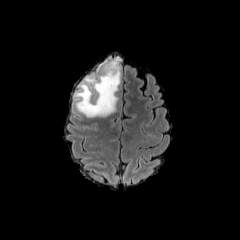
FLAIR magnetic resonance.
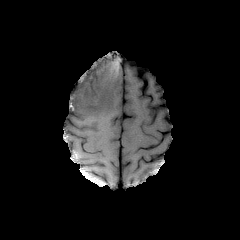
T1-weighted MRI.
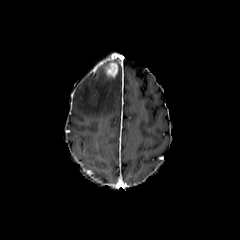
Post-contrast T1-weighted magnetic resonance.
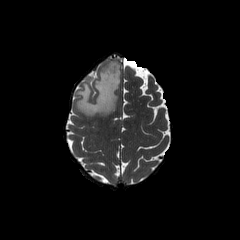
T2-weighted magnetic resonance.
Axial slice
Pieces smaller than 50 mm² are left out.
peritumoral edema: l=75, t=59, r=120, b=117 | enhancing tumor: l=101, t=60, r=118, b=79